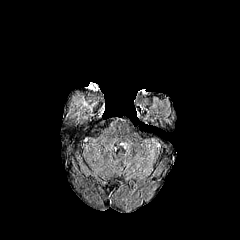
FLAIR magnetic resonance.
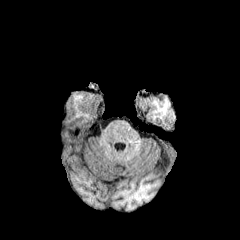
T1-weighted MR.
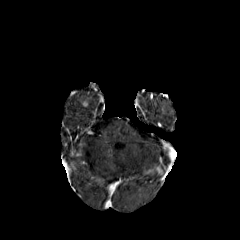
Post-contrast T1-weighted MR.
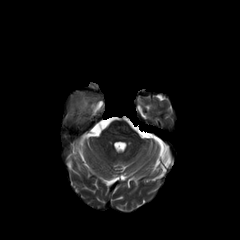
T2-weighted MR.
Head; Axial plane
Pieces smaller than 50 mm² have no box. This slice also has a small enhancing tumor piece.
peritumoral edema: <bbox>70, 93, 95, 111</bbox>